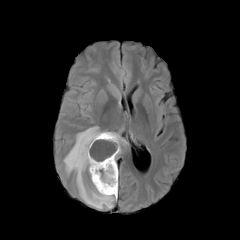
FLAIR magnetic resonance.
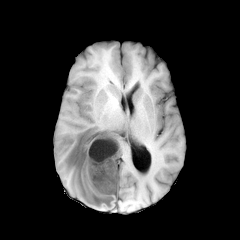
T1-weighted MR image.
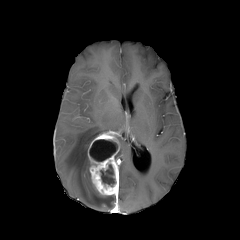
Post-contrast T1-weighted MR.
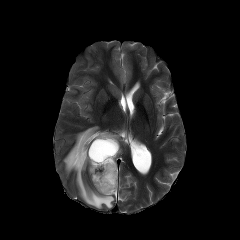
Same slice, T2-weighted magnetic resonance.
Axial slice | 240x240
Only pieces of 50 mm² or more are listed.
2 necrotic tumor core regions are bounded by left=89, top=139, right=117, bottom=161; left=100, top=164, right=115, bottom=186. The enhancing tumor is bounded by left=88, top=131, right=120, bottom=196. The 2 largest peritumoral edema regions are located at left=63, top=126, right=116, bottom=209; left=117, top=135, right=127, bottom=145.